FLAIR MR image.
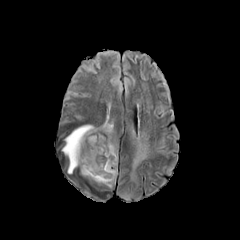
T1-weighted MR image.
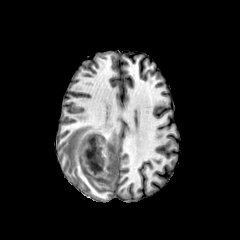
Post-contrast T1-weighted MR image.
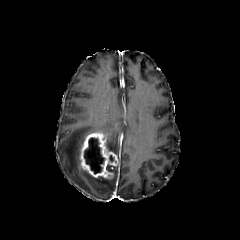
T2-weighted MR.
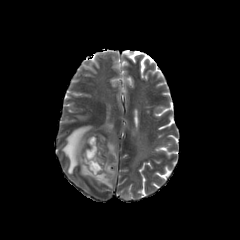
Axial plane
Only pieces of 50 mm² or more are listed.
enhancing tumor = x1=79, y1=132, x2=118, y2=178
peritumoral edema = x1=81, y1=167, x2=117, y2=187; x1=133, y1=154, x2=142, y2=168; x1=61, y1=116, x2=119, y2=173
necrotic tumor core = x1=84, y1=138, x2=104, y2=173